FLAIR MR.
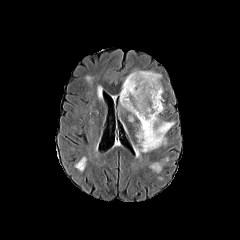
T1-weighted MR.
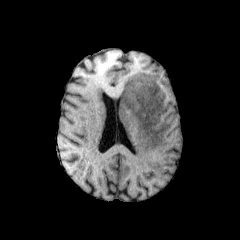
Post-contrast T1-weighted MR.
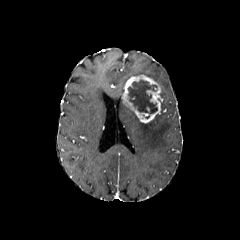
T2-weighted MR.
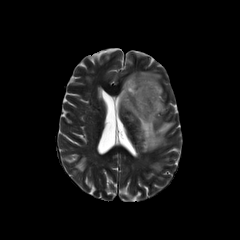
Head
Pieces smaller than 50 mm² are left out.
{"enhancing_tumor": ["[121,75,162,123]"], "necrotic_tumor_core": ["[128,80,157,113]"], "peritumoral_edema": ["[136,114,174,155]", "[119,70,163,121]"]}